Axial slice | Brain
FLAIR magnetic resonance.
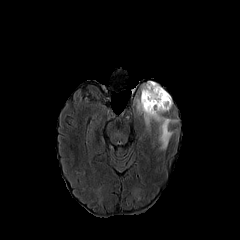
T1-weighted MR image.
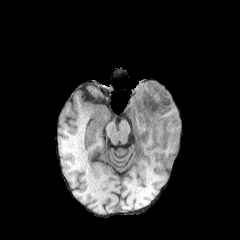
Post-contrast T1-weighted MR.
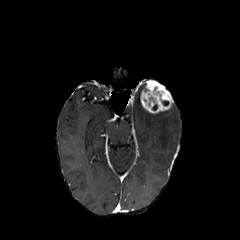
T2-weighted MR.
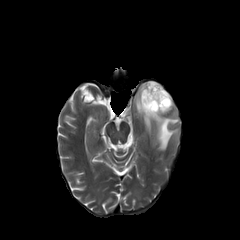
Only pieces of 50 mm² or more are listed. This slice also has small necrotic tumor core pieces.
Annotated regions:
• enhancing tumor: (140,80,173,113)
• peritumoral edema: (135,83,178,150)